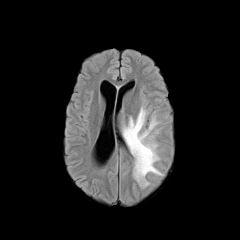
FLAIR MR image.
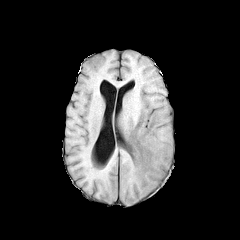
T1-weighted MR.
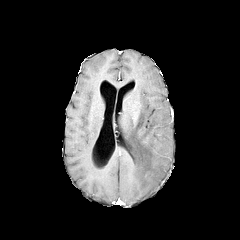
Same slice, post-contrast T1-weighted magnetic resonance.
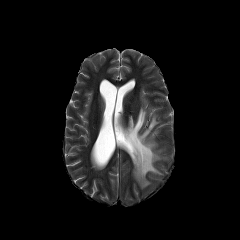
T2-weighted MRI.
Axial slice
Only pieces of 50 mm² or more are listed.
peritumoral_edema:
  - {"x1": 122, "y1": 107, "x2": 162, "y2": 187}